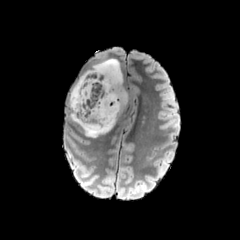
FLAIR magnetic resonance.
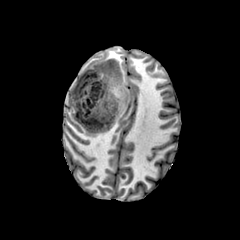
T1-weighted MR image.
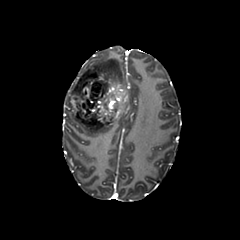
Post-contrast T1-weighted magnetic resonance.
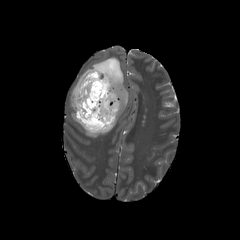
T2-weighted MR.
Image size 240x240; Brain
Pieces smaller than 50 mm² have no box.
Segmented structures:
• necrotic tumor core: bbox(76, 72, 107, 123)
• peritumoral edema: bbox(71, 112, 119, 137); bbox(69, 58, 123, 110)
• enhancing tumor: bbox(82, 80, 94, 99); bbox(71, 70, 127, 125)